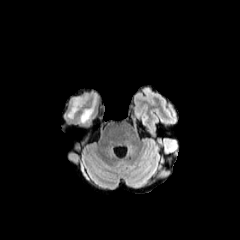
FLAIR MR image.
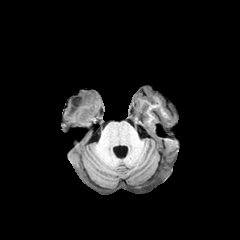
T1-weighted magnetic resonance.
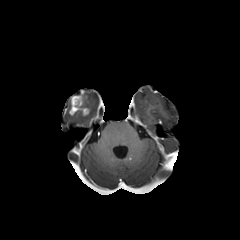
Same slice, post-contrast T1-weighted MRI.
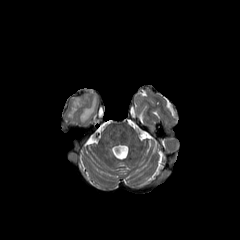
T2-weighted magnetic resonance.
Brain. Image size 240x240.
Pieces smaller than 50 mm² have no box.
Annotated regions:
* enhancing tumor: x1=69 y1=93 x2=90 y2=115
* peritumoral edema: x1=80 y1=94 x2=96 y2=123